FLAIR MR image.
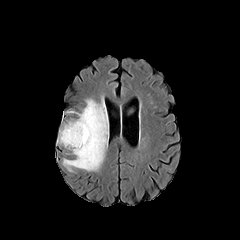
T1-weighted MRI.
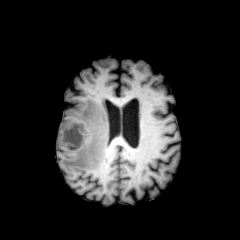
Post-contrast T1-weighted magnetic resonance.
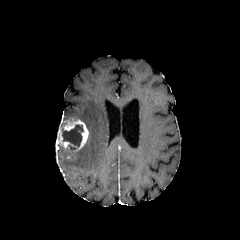
T2-weighted magnetic resonance.
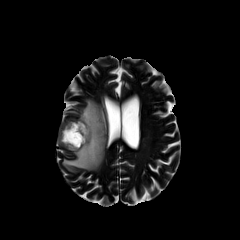
240x240; Axial plane
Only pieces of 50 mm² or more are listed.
necrotic tumor core = (62, 125, 83, 147)
enhancing tumor = (57, 118, 89, 151)
peritumoral edema = (62, 98, 108, 171)